240x240 px; Head
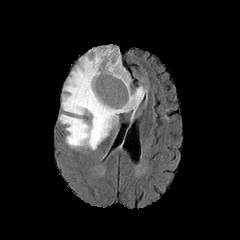
FLAIR MR.
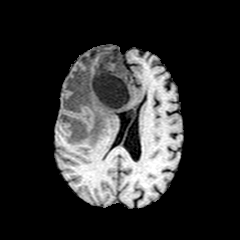
T1-weighted magnetic resonance.
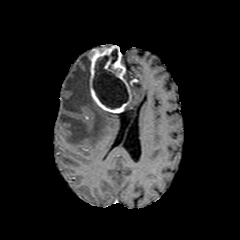
Post-contrast T1-weighted MR image.
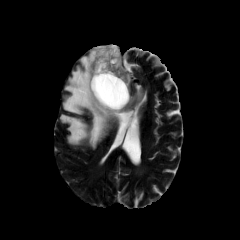
T2-weighted MR.
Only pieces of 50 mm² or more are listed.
<segmentation>
  <peritumoral_edema>124 86 146 119, 124 70 131 86, 59 52 118 149</peritumoral_edema>
  <enhancing_tumor>88 45 131 113</enhancing_tumor>
  <necrotic_tumor_core>92 49 128 108</necrotic_tumor_core>
</segmentation>